Image width 240 mm, Axial plane, Image size 240x240
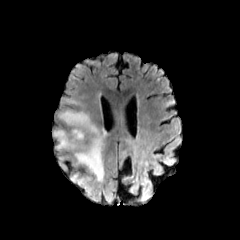
FLAIR MRI.
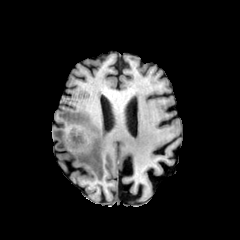
Same slice, T1-weighted magnetic resonance.
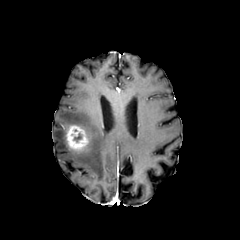
Post-contrast T1-weighted MR image.
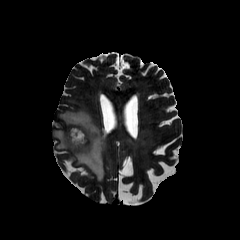
Same slice, T2-weighted MR.
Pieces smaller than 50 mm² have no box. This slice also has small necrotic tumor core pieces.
{
  "peritumoral_edema": [
    "52:109:108:202"
  ],
  "enhancing_tumor": [
    "64:124:88:152"
  ]
}